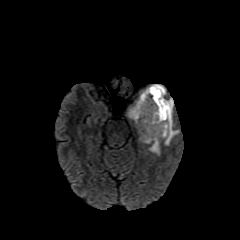
FLAIR MRI.
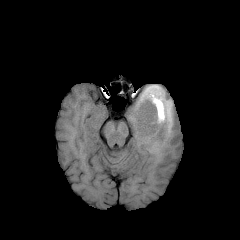
T1-weighted MR image.
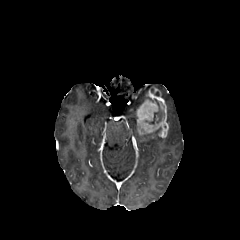
Post-contrast T1-weighted magnetic resonance of the same slice.
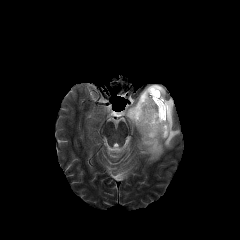
Same slice, T2-weighted MR.
Axial slice. Brain.
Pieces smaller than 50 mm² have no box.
peritumoral edema: box=[127, 84, 179, 155] | necrotic tumor core: box=[150, 99, 164, 124] | enhancing tumor: box=[135, 87, 168, 138]